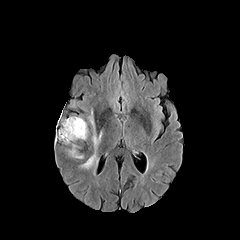
FLAIR MR image.
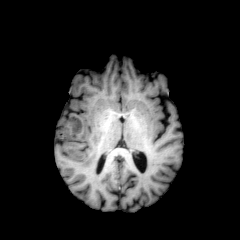
T1-weighted MRI.
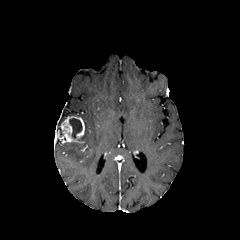
Post-contrast T1-weighted MR of the same slice.
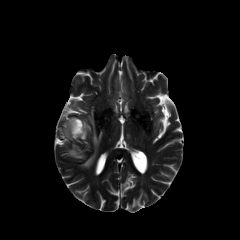
T2-weighted MRI of the same slice.
Head.
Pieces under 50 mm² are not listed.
<segmentation>
  <enhancing_tumor>rect(57, 116, 84, 142)</enhancing_tumor>
  <necrotic_tumor_core>rect(69, 118, 81, 138)</necrotic_tumor_core>
  <peritumoral_edema>rect(69, 144, 83, 158); rect(81, 151, 95, 168); rect(89, 111, 94, 127); rect(92, 131, 101, 149); rect(80, 122, 87, 139)</peritumoral_edema>
</segmentation>